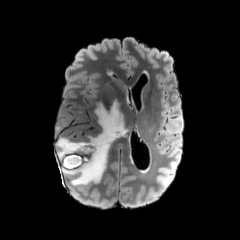
FLAIR MR.
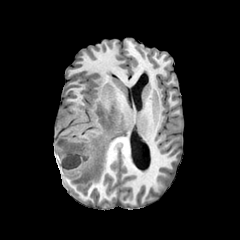
T1-weighted magnetic resonance of the same slice.
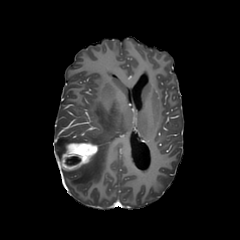
Same slice, post-contrast T1-weighted MRI.
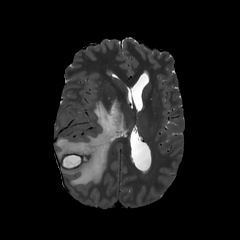
T2-weighted MR.
Axial slice. Head. 240x240 px.
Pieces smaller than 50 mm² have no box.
The largest peritumoral edema region is at {"x1": 55, "y1": 100, "x2": 125, "y2": 188}. The enhancing tumor is located at {"x1": 60, "y1": 142, "x2": 98, "y2": 170}. The necrotic tumor core is located at {"x1": 65, "y1": 156, "x2": 80, "y2": 165}.